FLAIR MR.
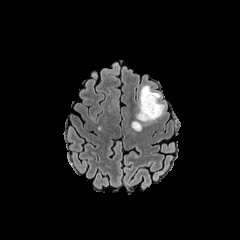
T1-weighted MRI.
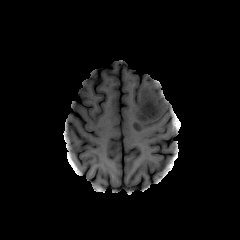
Post-contrast T1-weighted magnetic resonance.
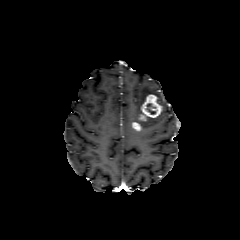
T2-weighted MR image.
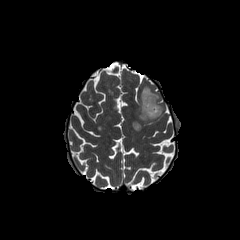
Axial slice; Head; 240x240 px
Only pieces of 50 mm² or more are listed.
* enhancing tumor: bbox(132, 122, 141, 130); bbox(139, 94, 162, 120)
* necrotic tumor core: bbox(146, 103, 155, 114)
* peritumoral edema: bbox(139, 103, 164, 121); bbox(137, 86, 160, 119)